FLAIR MRI.
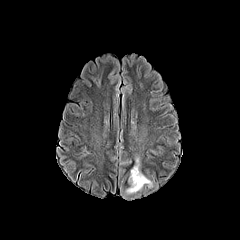
T1-weighted MR.
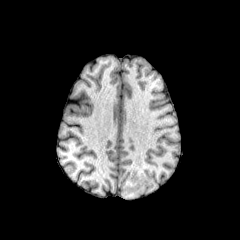
Post-contrast T1-weighted MR.
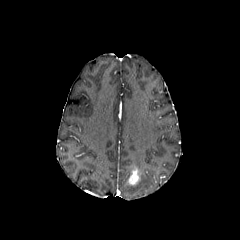
T2-weighted MR image.
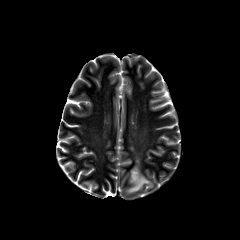
Brain
peritumoral edema — 126 157 152 193
enhancing tumor — 128 167 139 185